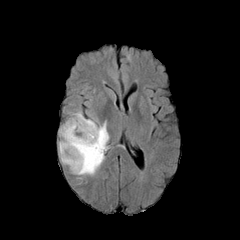
FLAIR MRI.
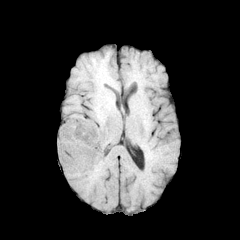
T1-weighted MRI.
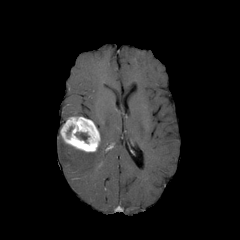
Same slice, post-contrast T1-weighted MR.
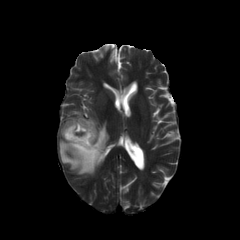
T2-weighted MR.
Brain
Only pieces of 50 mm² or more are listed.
necrotic tumor core: box(76, 133, 88, 141) | enhancing tumor: box(60, 116, 100, 152) | peritumoral edema: box(59, 119, 109, 175)